Slice 32/155.
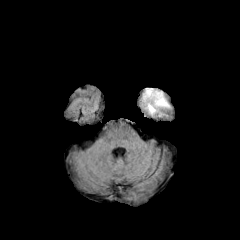
FLAIR MRI.
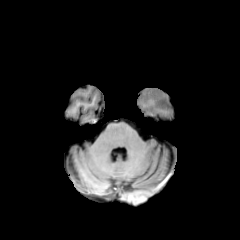
T1-weighted MRI.
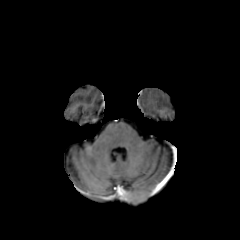
Post-contrast T1-weighted MR.
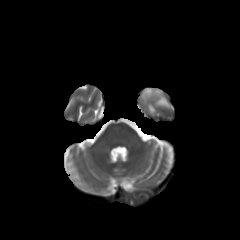
Same slice, T2-weighted magnetic resonance.
{
  "peritumoral_edema": [
    "(139,89,172,119)"
  ]
}